Slice 124/155. Brain.
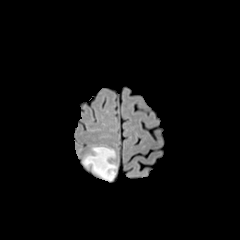
FLAIR MRI.
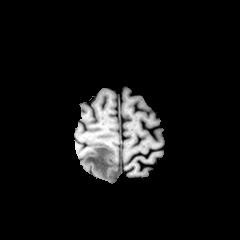
T1-weighted magnetic resonance.
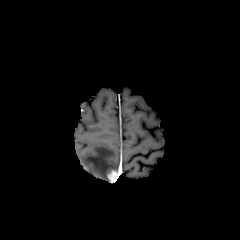
Post-contrast T1-weighted MRI.
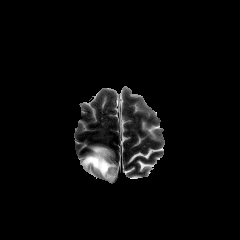
Same slice, T2-weighted magnetic resonance.
enhancing tumor: x1=107, y1=170, x2=116, y2=181 | peritumoral edema: x1=84, y1=147, x2=115, y2=178